FLAIR MR image.
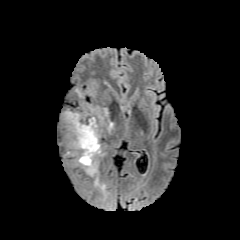
T1-weighted MR.
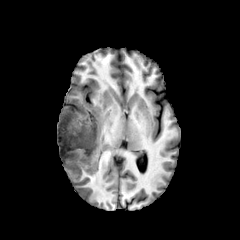
Post-contrast T1-weighted MR image.
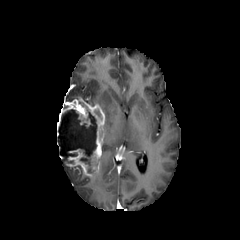
T2-weighted MR image.
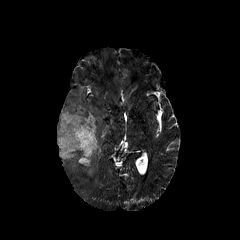
Brain
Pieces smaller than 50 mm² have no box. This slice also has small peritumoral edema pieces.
enhancing tumor: left=57, top=97, right=104, bottom=176 | necrotic tumor core: left=58, top=109, right=97, bottom=173